FLAIR MR image.
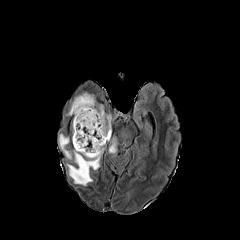
T1-weighted magnetic resonance.
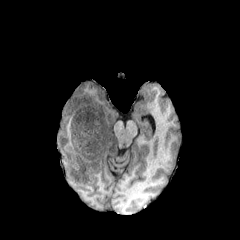
Post-contrast T1-weighted MR.
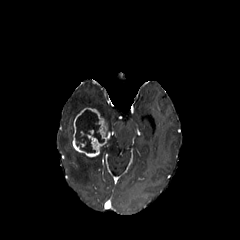
T2-weighted magnetic resonance.
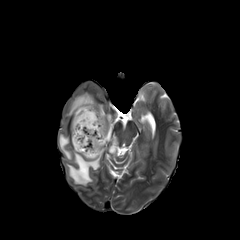
Brain
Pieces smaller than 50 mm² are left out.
{
  "necrotic_tumor_core": [
    "[75, 110, 104, 152]"
  ],
  "enhancing_tumor": [
    "[72, 107, 110, 157]"
  ],
  "peritumoral_edema": [
    "[108, 137, 116, 154]",
    "[58, 134, 104, 185]",
    "[67, 92, 111, 132]"
  ]
}